Axial slice; Slice index 100; 240x240 px
FLAIR MRI.
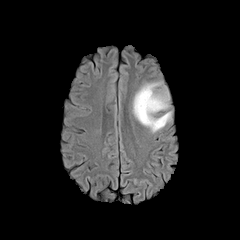
T1-weighted MR image.
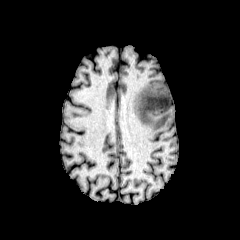
Post-contrast T1-weighted MR.
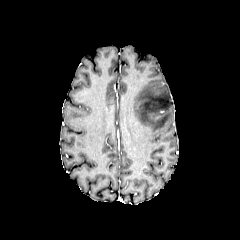
T2-weighted MR image.
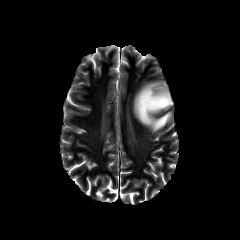
The peritumoral edema is bounded by 132 81 172 133.